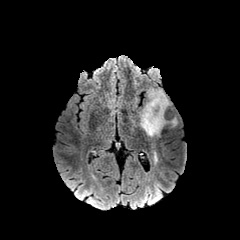
FLAIR MR.
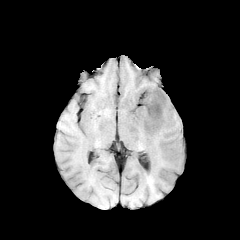
Same slice, T1-weighted MR image.
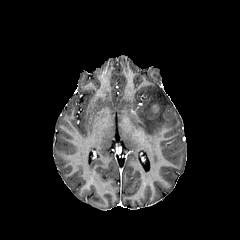
Post-contrast T1-weighted MRI.
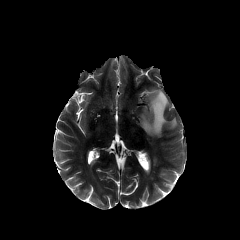
Same slice, T2-weighted MR.
Axial view. Head.
peritumoral_edema:
  - x1=140, y1=88, x2=176, y2=136
enhancing_tumor:
  - x1=152, y1=104, x2=159, y2=112